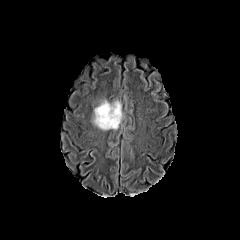
FLAIR MRI.
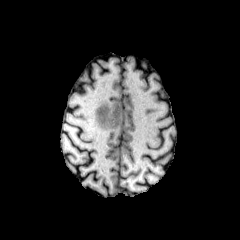
T1-weighted MR image of the same slice.
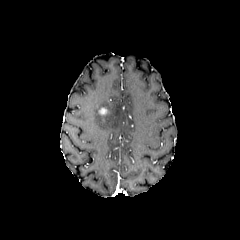
Post-contrast T1-weighted MR.
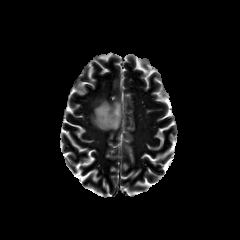
Same slice, T2-weighted magnetic resonance.
Brain | Axial view
The peritumoral edema is located at 92,100,122,130. The enhancing tumor is at 98,107,107,115.